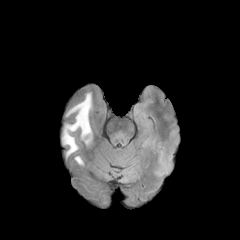
FLAIR MRI.
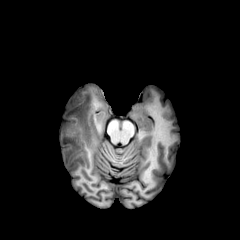
T1-weighted MR of the same slice.
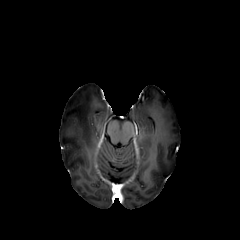
Post-contrast T1-weighted magnetic resonance of the same slice.
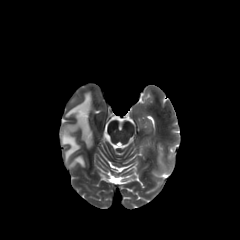
Same slice, T2-weighted MR.
240x240 px.
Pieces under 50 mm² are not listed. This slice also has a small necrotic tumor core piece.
peritumoral edema: [75, 156, 83, 165], [62, 93, 91, 157]